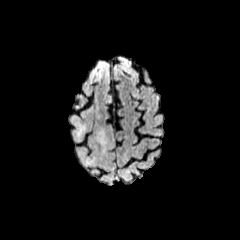
FLAIR MR.
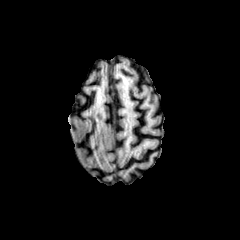
T1-weighted MR image of the same slice.
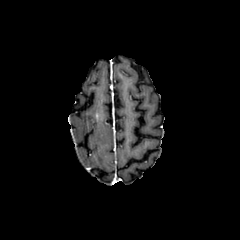
Post-contrast T1-weighted MR image.
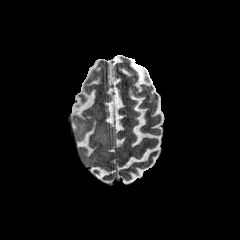
Same slice, T2-weighted magnetic resonance.
Head. Image size 240x240.
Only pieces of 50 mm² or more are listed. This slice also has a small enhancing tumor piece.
peritumoral edema: x1=79 y1=151 x2=96 y2=165, x1=72 y1=118 x2=86 y2=140, x1=96 y1=129 x2=107 y2=145